FLAIR MR image.
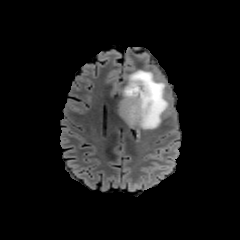
T1-weighted magnetic resonance.
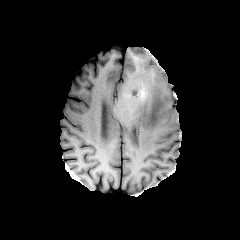
Post-contrast T1-weighted MR.
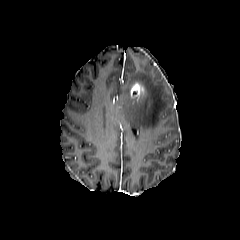
T2-weighted MR.
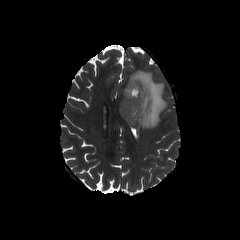
Head.
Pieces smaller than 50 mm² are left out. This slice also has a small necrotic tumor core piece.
{"peritumoral_edema": ["box(118, 70, 168, 129)"], "enhancing_tumor": ["box(130, 82, 144, 97)"]}